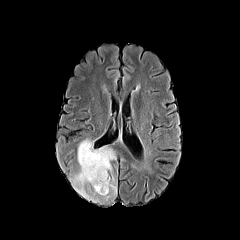
FLAIR MR image.
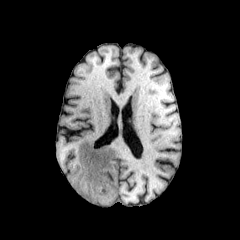
T1-weighted magnetic resonance of the same slice.
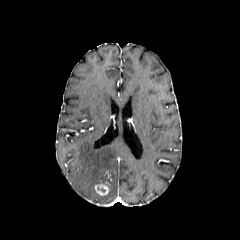
Post-contrast T1-weighted MR image.
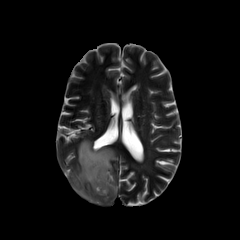
T2-weighted MRI.
Head
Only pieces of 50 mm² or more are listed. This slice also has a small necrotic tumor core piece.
The peritumoral edema is bounded by [70,139,117,202]. The enhancing tumor is located at [94,182,108,195].